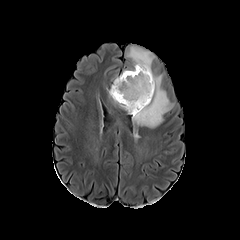
FLAIR magnetic resonance.
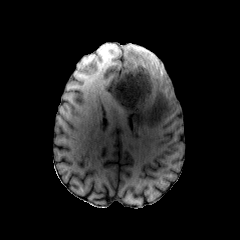
T1-weighted magnetic resonance.
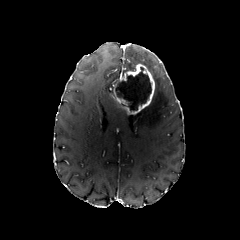
Post-contrast T1-weighted MRI.
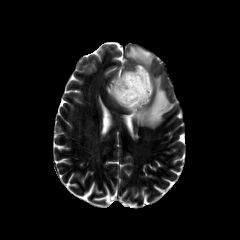
T2-weighted MR.
Axial plane.
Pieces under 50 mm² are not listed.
The largest necrotic tumor core region appears at x1=115 y1=67 x2=151 y2=110. The 2 largest peritumoral edema regions are located at x1=132 y1=76 x2=172 y2=128, x1=130 y1=50 x2=151 y2=74. The enhancing tumor is at x1=111 y1=64 x2=154 y2=114.